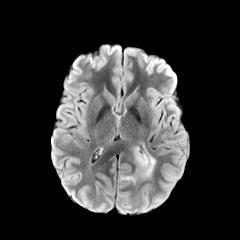
FLAIR magnetic resonance.
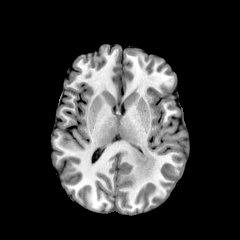
T1-weighted MR image.
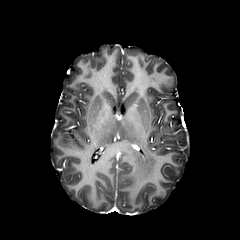
Same slice, post-contrast T1-weighted MR image.
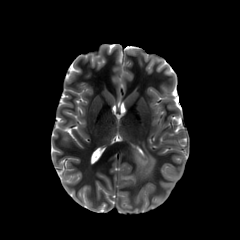
T2-weighted magnetic resonance.
Head | 240x240 px
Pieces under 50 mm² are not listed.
peritumoral edema: left=135, top=149, right=155, bottom=175